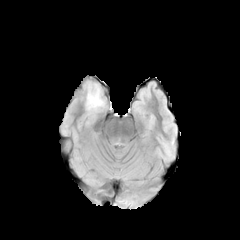
FLAIR MR image.
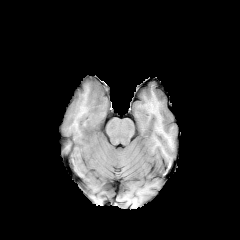
T1-weighted MR image.
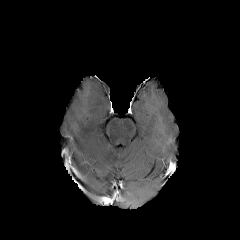
Post-contrast T1-weighted MRI.
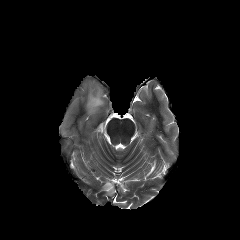
Same slice, T2-weighted MR image.
Head. Image size 240x240.
The peritumoral edema is located at region(85, 81, 104, 113).